FLAIR MR image.
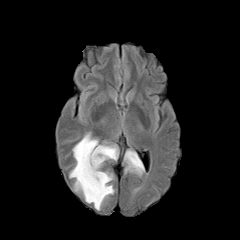
T1-weighted magnetic resonance.
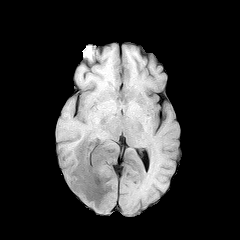
Post-contrast T1-weighted MRI.
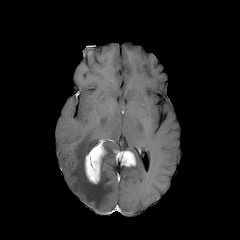
T2-weighted MRI.
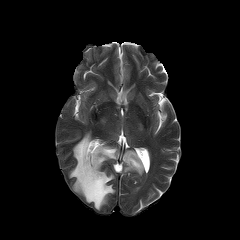
Axial view
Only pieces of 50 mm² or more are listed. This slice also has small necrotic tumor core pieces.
enhancing tumor: 114:150:136:166, 85:142:106:183
peritumoral edema: 69:132:114:210, 101:142:118:166, 125:149:144:175